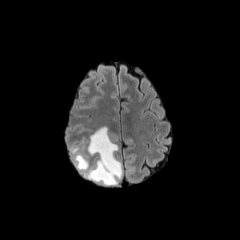
FLAIR magnetic resonance.
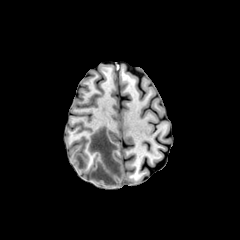
T1-weighted MR image.
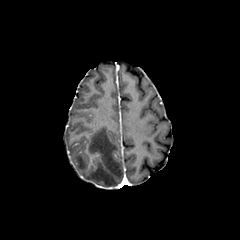
Post-contrast T1-weighted MR image of the same slice.
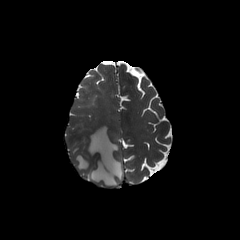
T2-weighted magnetic resonance.
Brain. 240x240.
The peritumoral edema lies within 72,126,122,185.